FLAIR MR image.
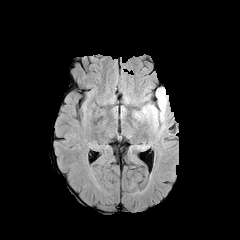
T1-weighted MRI.
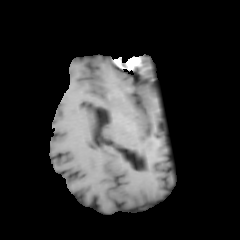
Post-contrast T1-weighted MR.
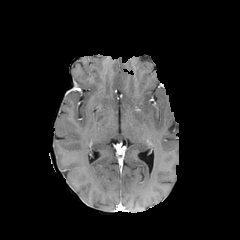
T2-weighted MR image.
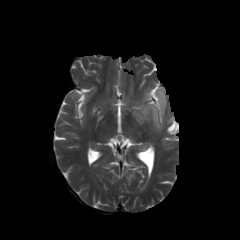
2 peritumoral edema regions appear at x1=141, y1=89, x2=151, y2=101; x1=133, y1=88, x2=165, y2=130.